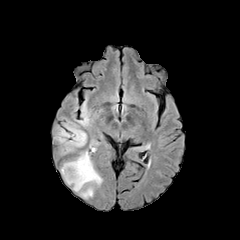
FLAIR MR image.
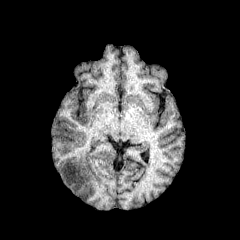
Same slice, T1-weighted MR image.
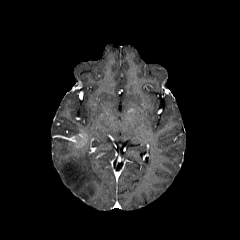
Post-contrast T1-weighted magnetic resonance of the same slice.
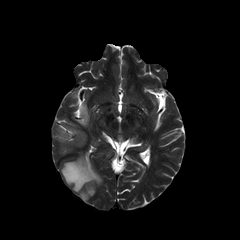
T2-weighted magnetic resonance.
Brain. Axial slice.
The enhancing tumor lies within (72, 130, 87, 147). 4 peritumoral edema regions appear at (57, 121, 80, 137), (77, 104, 89, 126), (61, 151, 102, 197), (55, 137, 75, 154).